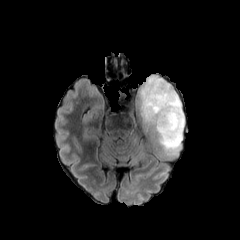
FLAIR MR.
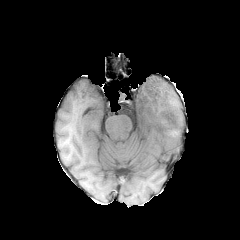
T1-weighted MRI of the same slice.
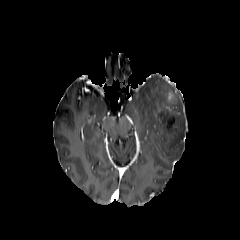
Post-contrast T1-weighted MR image.
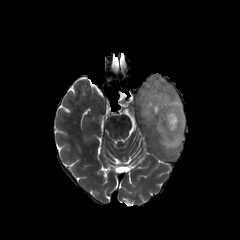
T2-weighted magnetic resonance.
Axial plane, Image size 240x240
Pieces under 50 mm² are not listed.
enhancing tumor at {"x1": 156, "y1": 109, "x2": 177, "y2": 135}
necrotic tumor core at {"x1": 159, "y1": 113, "x2": 171, "y2": 127}
peritumoral edema at {"x1": 136, "y1": 75, "x2": 185, "y2": 154}